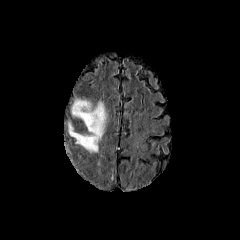
FLAIR MR.
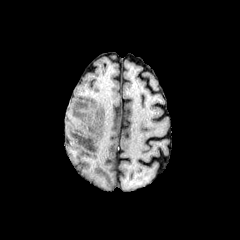
T1-weighted MRI.
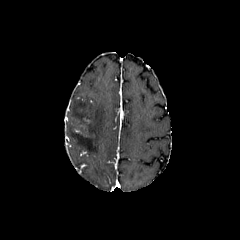
Same slice, post-contrast T1-weighted MR image.
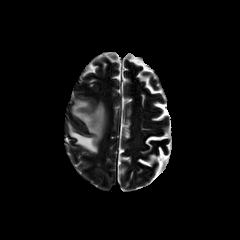
T2-weighted MR.
Head
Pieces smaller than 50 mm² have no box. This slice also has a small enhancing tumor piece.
The peritumoral edema is located at [x1=68, y1=99, x2=106, y2=152].